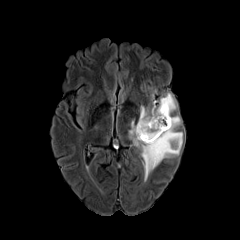
FLAIR MR image.
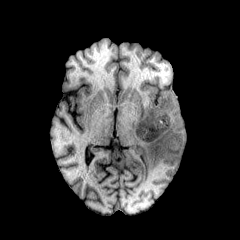
Same slice, T1-weighted MR.
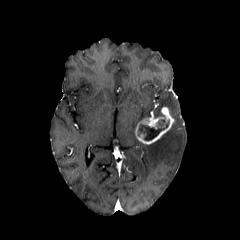
Post-contrast T1-weighted MR of the same slice.
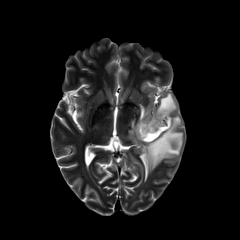
T2-weighted magnetic resonance.
Axial view; Brain; Image size 240x240
necrotic_tumor_core:
  - bbox=[138, 120, 168, 140]
peritumoral_edema:
  - bbox=[152, 93, 177, 117]
  - bbox=[129, 115, 183, 181]
  - bbox=[138, 106, 151, 122]
enhancing_tumor:
  - bbox=[135, 106, 174, 144]